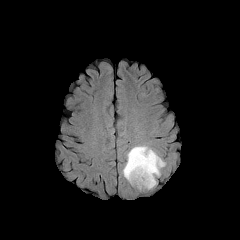
FLAIR MR.
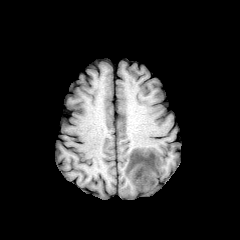
T1-weighted MR.
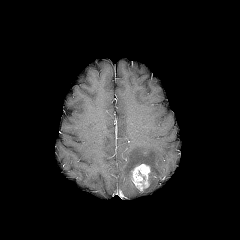
Same slice, post-contrast T1-weighted MRI.
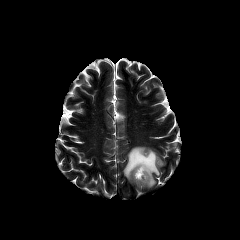
T2-weighted magnetic resonance.
Head.
Segmented structures:
- enhancing tumor: <bbox>131, 164, 150, 190</bbox>
- peritumoral edema: <bbox>122, 145, 165, 188</bbox>